FLAIR MRI.
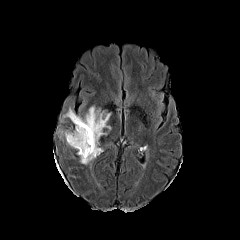
T1-weighted MR image.
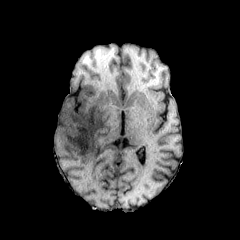
Post-contrast T1-weighted MR image.
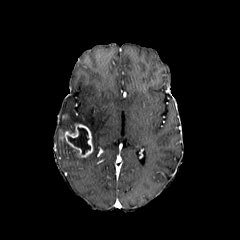
T2-weighted MRI.
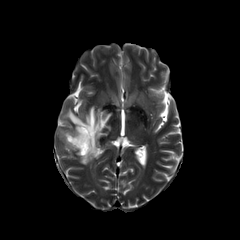
Axial plane.
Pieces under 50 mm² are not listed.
necrotic tumor core: box=[67, 127, 90, 154]
peritumoral edema: box=[61, 106, 111, 183]
enhancing tumor: box=[60, 123, 93, 157]